FLAIR MR image.
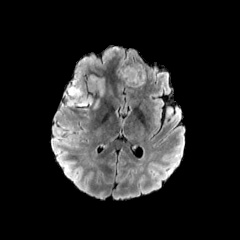
T1-weighted MRI.
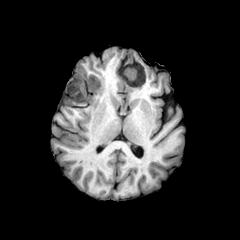
Post-contrast T1-weighted MR image.
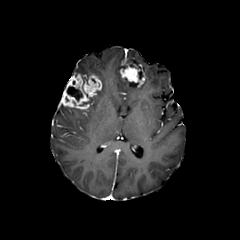
T2-weighted MR image.
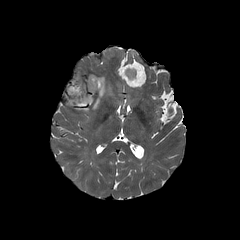
Image size 240x240. Brain. Axial slice.
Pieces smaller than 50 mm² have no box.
* necrotic tumor core: (left=67, top=86, right=82, bottom=100)
* peritumoral edema: (left=99, top=78, right=104, bottom=96), (left=117, top=63, right=138, bottom=83), (left=75, top=62, right=86, bottom=74), (left=92, top=99, right=99, bottom=109)
* enhancing tumor: (left=61, top=73, right=102, bottom=111), (left=119, top=64, right=145, bottom=86)